FLAIR magnetic resonance.
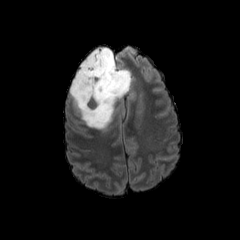
T1-weighted magnetic resonance.
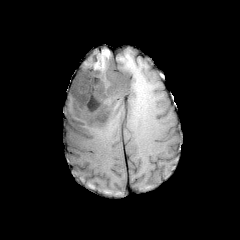
Post-contrast T1-weighted magnetic resonance.
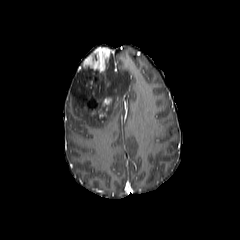
T2-weighted MR image.
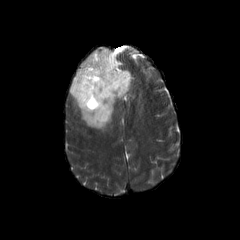
Axial plane, Brain
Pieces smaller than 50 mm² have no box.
The largest necrotic tumor core region is bounded by region(87, 97, 97, 109). The 2 largest enhancing tumor regions are bounded by region(84, 97, 111, 118); region(83, 47, 110, 73). The largest peritumoral edema region is at region(69, 51, 131, 130).